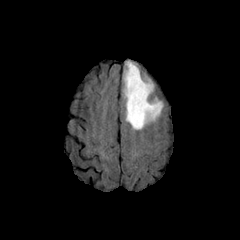
FLAIR MR image.
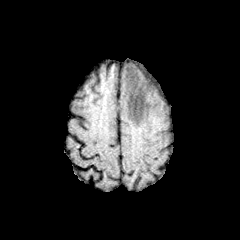
T1-weighted MRI.
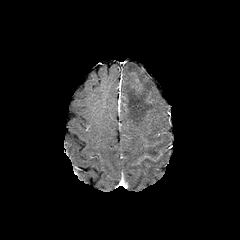
Post-contrast T1-weighted MR image of the same slice.
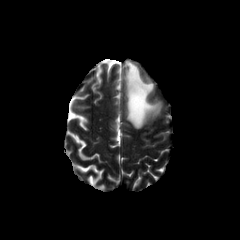
Same slice, T2-weighted MR image.
240x240 px; Head; Axial view
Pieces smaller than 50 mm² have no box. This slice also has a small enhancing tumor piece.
Segmented structures:
• peritumoral edema: box=[123, 61, 162, 129]